240x240 px, Axial slice
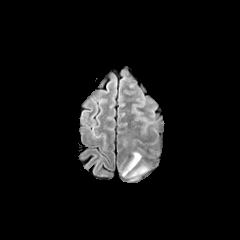
FLAIR magnetic resonance.
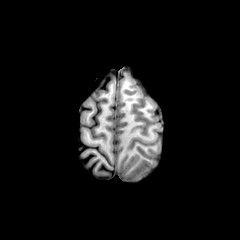
Same slice, T1-weighted magnetic resonance.
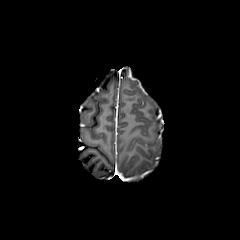
Post-contrast T1-weighted MR of the same slice.
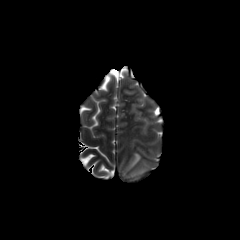
T2-weighted magnetic resonance.
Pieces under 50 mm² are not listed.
The 2 largest peritumoral edema regions are located at left=131, top=168, right=146, bottom=176; left=123, top=153, right=140, bottom=175.